Image covers 240 mm x 240 mm; Axial slice
FLAIR magnetic resonance.
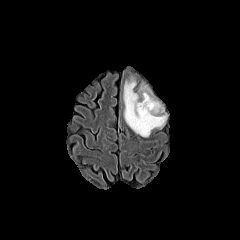
T1-weighted MR.
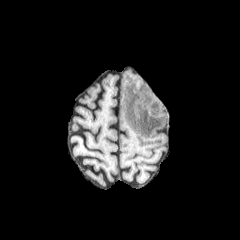
Post-contrast T1-weighted magnetic resonance.
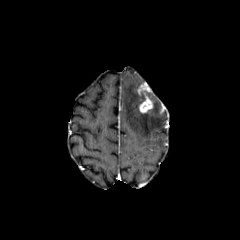
T2-weighted magnetic resonance.
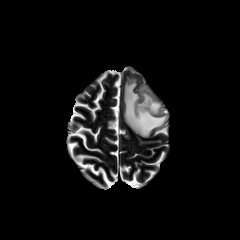
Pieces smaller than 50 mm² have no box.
Segmented structures:
- peritumoral edema: <bbox>123, 78, 166, 137</bbox>
- enhancing tumor: <bbox>137, 83, 153, 113</bbox>